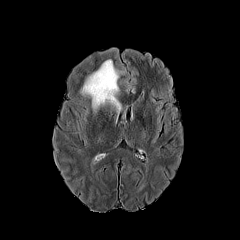
FLAIR MRI.
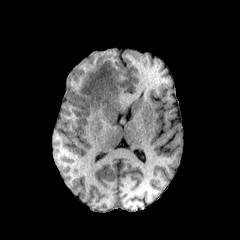
T1-weighted MR image.
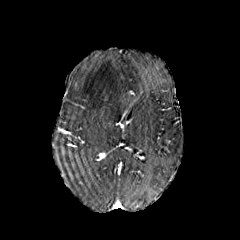
Post-contrast T1-weighted MRI.
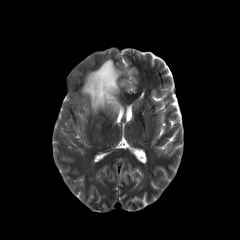
Same slice, T2-weighted MR image.
Axial plane. Brain. 240x240 px.
{
  "peritumoral_edema": [
    "[81,59,121,113]"
  ]
}